FLAIR MR.
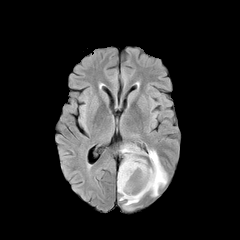
T1-weighted MR image.
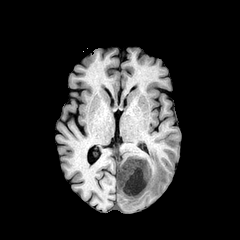
Post-contrast T1-weighted MR image.
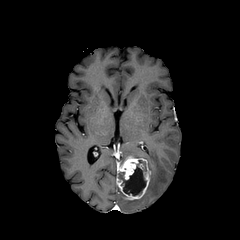
T2-weighted MRI.
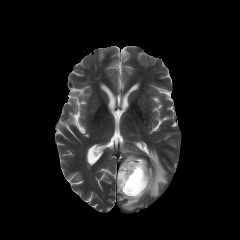
Axial view, Brain
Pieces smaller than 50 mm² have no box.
enhancing tumor — (116, 156, 151, 200)
necrotic tumor core — (118, 165, 146, 195)
peritumoral edema — (123, 199, 140, 209), (122, 146, 142, 158), (146, 150, 167, 196)